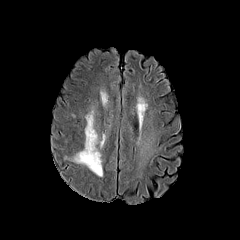
FLAIR MR image.
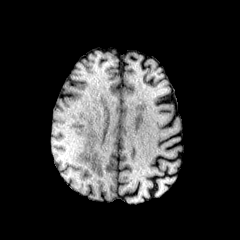
Same slice, T1-weighted MR image.
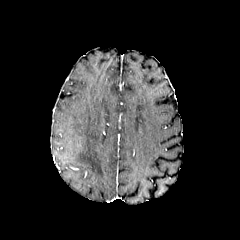
Same slice, post-contrast T1-weighted MRI.
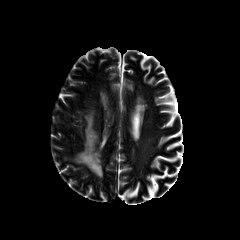
T2-weighted MR image.
Axial view. Head.
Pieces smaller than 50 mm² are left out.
<segmentation>
  <peritumoral_edema>(74, 112, 102, 176)</peritumoral_edema>
</segmentation>